Slice 115/155. Axial view. 240x240 px.
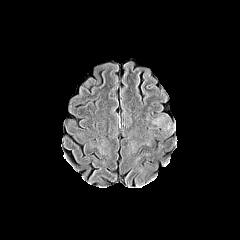
FLAIR magnetic resonance.
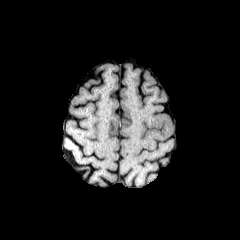
T1-weighted magnetic resonance.
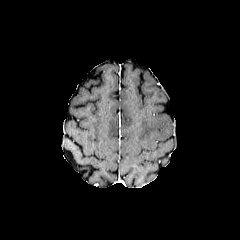
Post-contrast T1-weighted magnetic resonance.
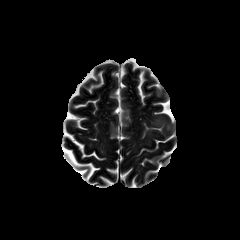
T2-weighted MR.
2 peritumoral edema regions are bounded by 150 115 166 123, 166 122 174 133.